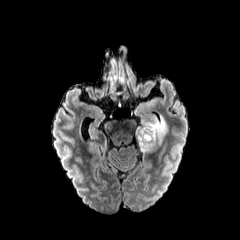
FLAIR magnetic resonance.
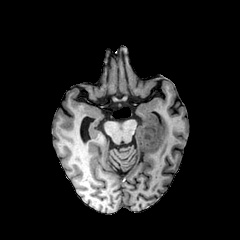
T1-weighted MRI of the same slice.
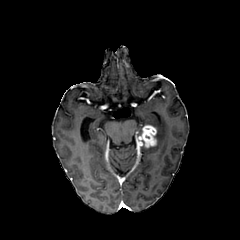
Post-contrast T1-weighted MR image.
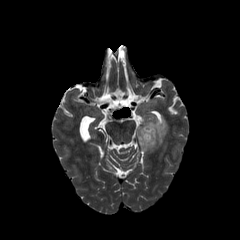
Same slice, T2-weighted MR image.
Image size 240x240 | Head
peritumoral edema: l=136, t=116, r=167, b=152 | enhancing tumor: l=136, t=125, r=156, b=148